Image size 240x240; Axial plane; Slice index 124
FLAIR magnetic resonance.
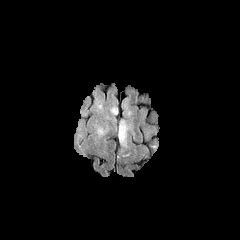
T1-weighted MR.
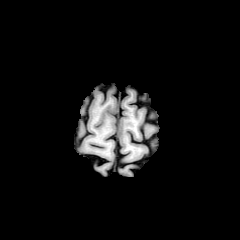
Post-contrast T1-weighted magnetic resonance.
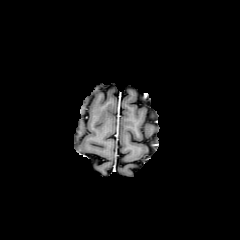
T2-weighted magnetic resonance.
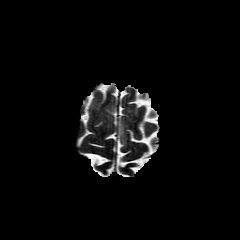
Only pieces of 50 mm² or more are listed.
The largest peritumoral edema region lies within x1=118 y1=122 x2=125 y2=140.